Image width 240 mm
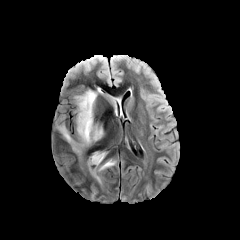
FLAIR MR image.
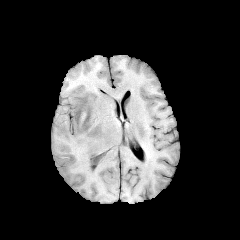
Same slice, T1-weighted magnetic resonance.
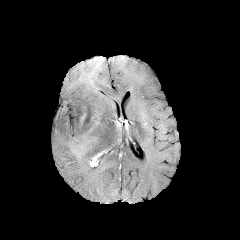
Same slice, post-contrast T1-weighted MRI.
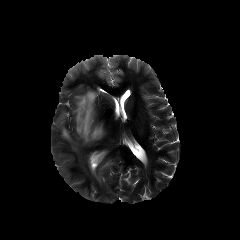
T2-weighted MR.
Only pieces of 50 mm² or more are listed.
peritumoral edema: 91:159:115:181, 57:89:103:152, 88:151:105:166